FLAIR MRI.
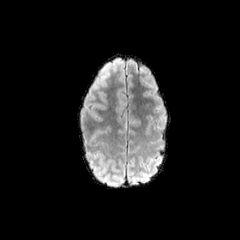
T1-weighted MR image.
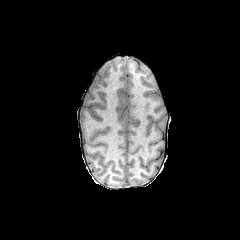
Post-contrast T1-weighted MR.
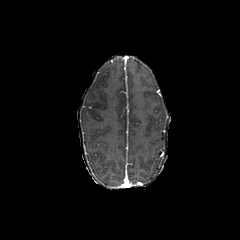
T2-weighted MR.
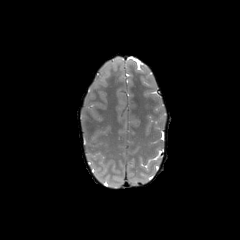
240x240 px; Axial plane
<segmentation>
  <peritumoral_edema>box(116, 92, 124, 113)</peritumoral_edema>
</segmentation>